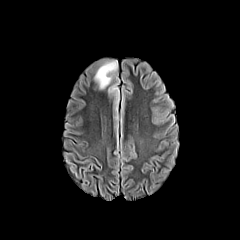
FLAIR magnetic resonance.
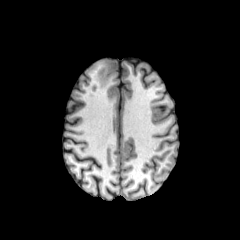
T1-weighted MRI of the same slice.
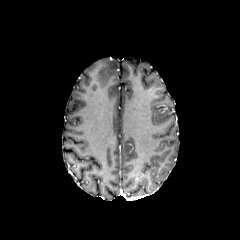
Post-contrast T1-weighted MRI.
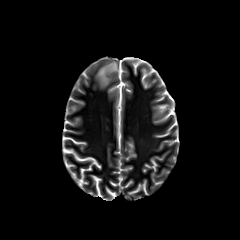
T2-weighted MR.
Axial view
Findings:
• peritumoral edema: (left=95, top=61, right=117, bottom=89), (left=108, top=85, right=118, bottom=95)